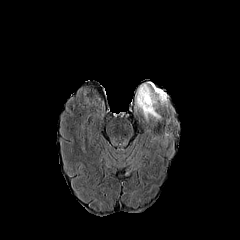
FLAIR MR.
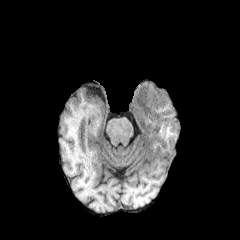
T1-weighted magnetic resonance of the same slice.
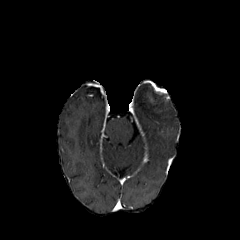
Post-contrast T1-weighted magnetic resonance.
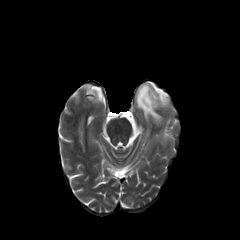
T2-weighted MRI of the same slice.
Head | 240x240 px
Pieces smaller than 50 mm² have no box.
The largest enhancing tumor region lies within bbox=[149, 82, 168, 99]. The largest peritumoral edema region lies within bbox=[136, 84, 167, 118].